FLAIR MRI.
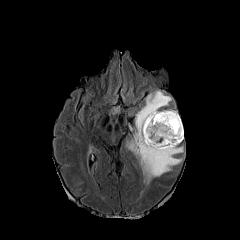
T1-weighted magnetic resonance.
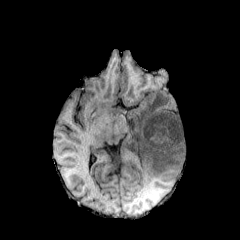
Post-contrast T1-weighted MR image.
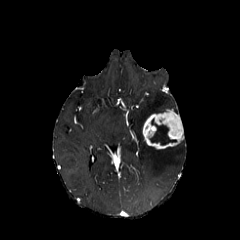
T2-weighted MRI.
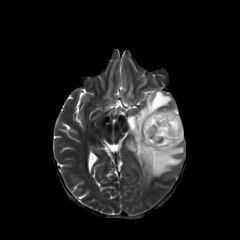
Brain. Image size 240x240.
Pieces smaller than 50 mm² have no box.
* enhancing tumor: rect(142, 110, 183, 149)
* necrotic tumor core: rect(150, 119, 176, 144)
* peritumoral edema: rect(126, 90, 183, 183)